FLAIR MR.
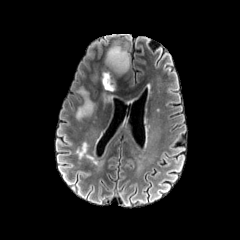
T1-weighted MR.
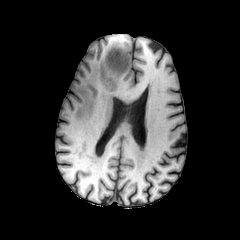
Post-contrast T1-weighted magnetic resonance.
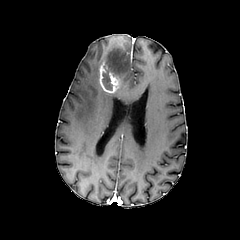
T2-weighted MR.
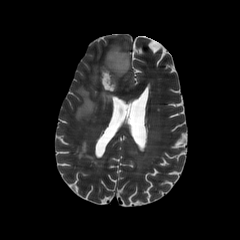
Head. Axial plane. 240x240.
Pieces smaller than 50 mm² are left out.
The 3 largest peritumoral edema regions are bounded by 76,88,95,121; 105,46,129,76; 102,92,112,102. The enhancing tumor lies within 99,61,119,93. The necrotic tumor core is bounded by 102,72,112,90.